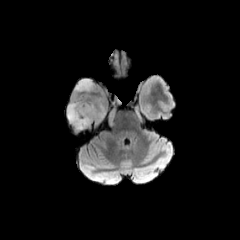
FLAIR magnetic resonance.
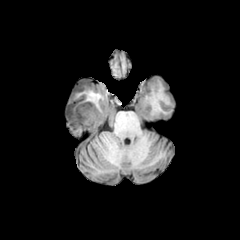
T1-weighted magnetic resonance.
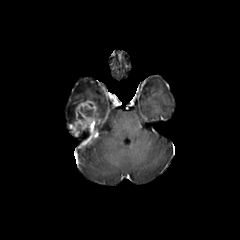
Post-contrast T1-weighted MR.
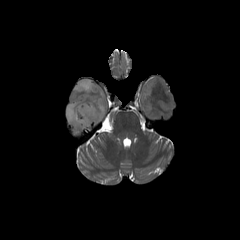
T2-weighted MR.
240x240. Head.
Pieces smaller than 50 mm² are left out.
{
  "enhancing_tumor": [
    "box=[70, 100, 101, 135]"
  ],
  "peritumoral_edema": [
    "box=[75, 79, 93, 92]",
    "box=[67, 101, 83, 123]",
    "box=[97, 104, 104, 118]"
  ],
  "necrotic_tumor_core": [
    "box=[81, 108, 92, 116]"
  ]
}